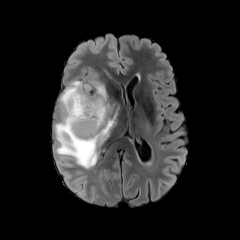
FLAIR MRI.
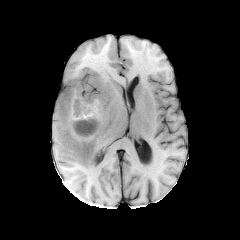
T1-weighted MR image.
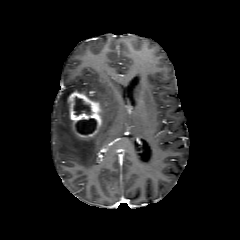
Post-contrast T1-weighted MRI.
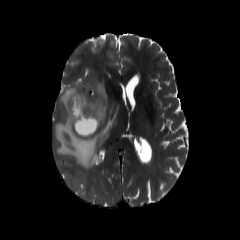
T2-weighted magnetic resonance.
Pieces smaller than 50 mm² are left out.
peritumoral edema — (54, 80, 116, 168)
necrotic tumor core — (73, 96, 91, 115), (76, 118, 96, 134)
enhancing tumor — (68, 90, 102, 138)